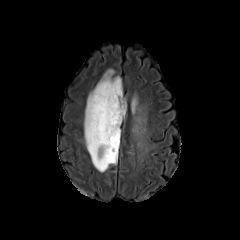
FLAIR MRI.
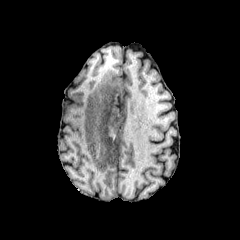
T1-weighted MR image of the same slice.
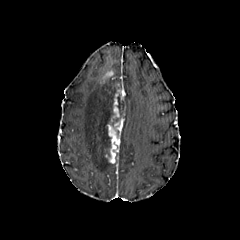
Same slice, post-contrast T1-weighted MR.
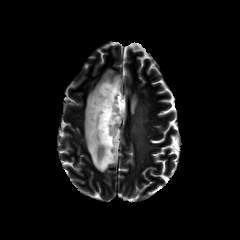
T2-weighted MR image.
240x240
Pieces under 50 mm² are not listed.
The 2 largest peritumoral edema regions are bounded by [x1=84, y1=76, x2=121, y2=172], [x1=131, y1=96, x2=137, y2=113]. The largest necrotic tumor core region is bounded by [x1=117, y1=95, x2=125, y2=114]. The 2 largest enhancing tumor regions appear at [x1=102, y1=70, x2=114, y2=83], [x1=105, y1=83, x2=125, y2=163].